240x240 px; Axial slice; Image width 240 mm, 1.00 mm slice spacing
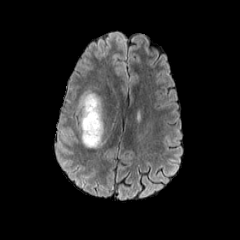
FLAIR MRI.
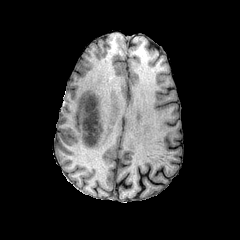
T1-weighted MR image of the same slice.
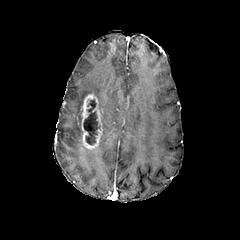
Post-contrast T1-weighted MRI.
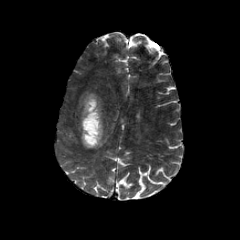
T2-weighted magnetic resonance of the same slice.
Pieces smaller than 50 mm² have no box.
necrotic tumor core: bounding box [83, 100, 98, 144]
enhancing tumor: bounding box [81, 93, 102, 148]
peritumoral edema: bounding box [79, 91, 104, 134]